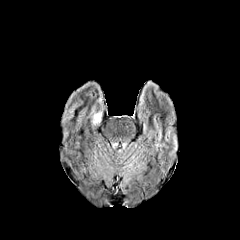
FLAIR MRI.
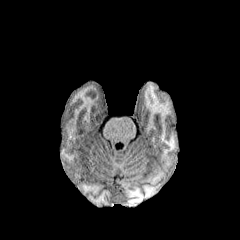
Same slice, T1-weighted magnetic resonance.
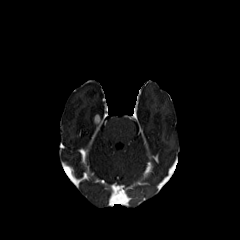
Same slice, post-contrast T1-weighted MR.
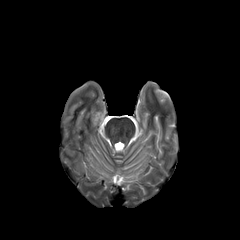
T2-weighted magnetic resonance.
240x240
The enhancing tumor is bounded by x1=94 y1=114 x2=100 y2=123. The peritumoral edema is bounded by x1=91 y1=111 x2=101 y2=124.